FLAIR MR.
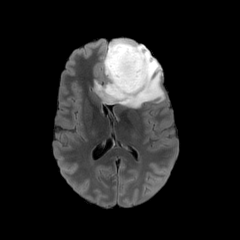
T1-weighted MR image.
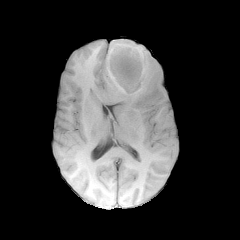
Post-contrast T1-weighted MRI.
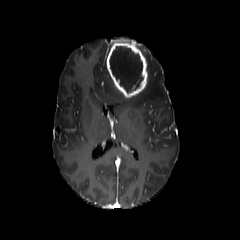
T2-weighted MR image.
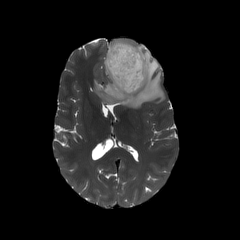
Axial view
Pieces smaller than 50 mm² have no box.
Annotated regions:
- enhancing tumor: 106, 39, 148, 98
- necrotic tumor core: 109, 46, 143, 92
- peritumoral edema: 93, 42, 165, 108